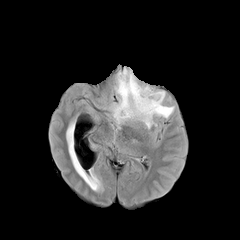
FLAIR MRI.
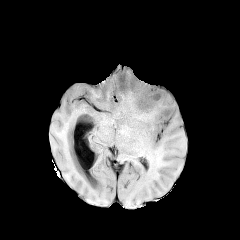
Same slice, T1-weighted magnetic resonance.
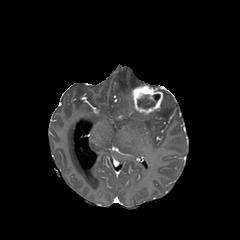
Post-contrast T1-weighted MRI of the same slice.
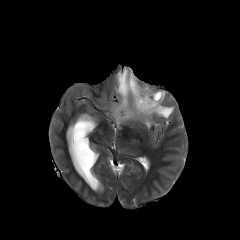
T2-weighted MR.
Image size 240x240
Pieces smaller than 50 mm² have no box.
Findings:
- enhancing tumor: box(132, 85, 163, 114)
- necrotic tumor core: box(139, 96, 156, 108)
- peritumoral edema: box(112, 68, 174, 128)